FLAIR MRI.
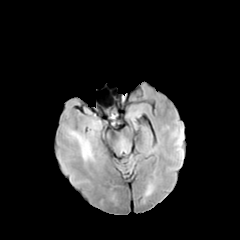
T1-weighted MRI.
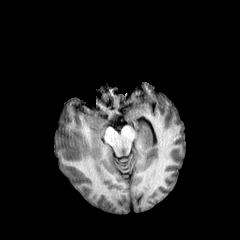
Post-contrast T1-weighted magnetic resonance.
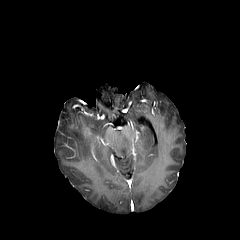
T2-weighted MRI.
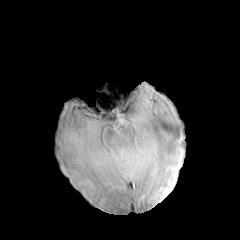
Image size 240x240; Head; Axial slice
Annotated regions:
- peritumoral edema: 71 132 91 158